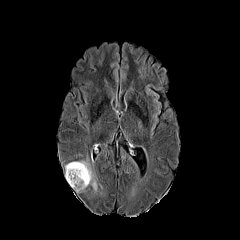
FLAIR MR image.
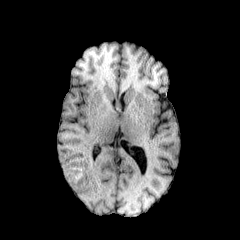
Same slice, T1-weighted magnetic resonance.
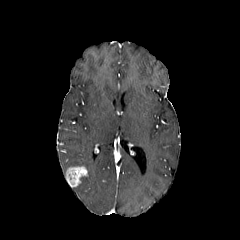
Same slice, post-contrast T1-weighted MRI.
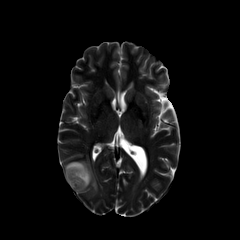
T2-weighted MR image.
240x240 px | Axial plane
enhancing_tumor:
  - 65,166,88,187
peritumoral_edema:
  - 65,160,97,192